Slice index 79; Axial slice
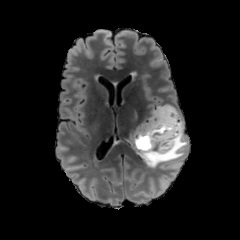
FLAIR MRI.
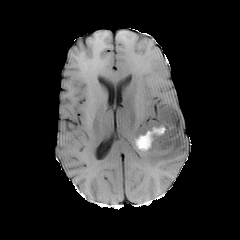
Same slice, T1-weighted magnetic resonance.
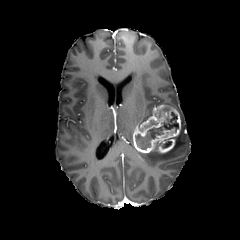
Post-contrast T1-weighted MRI of the same slice.
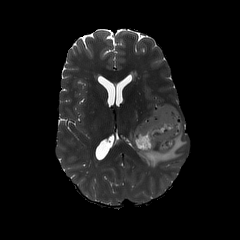
T2-weighted MR image.
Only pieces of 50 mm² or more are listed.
necrotic tumor core — 135, 112, 178, 149
enhancing tumor — 132, 105, 181, 153
peritumoral edema — 137, 116, 187, 168